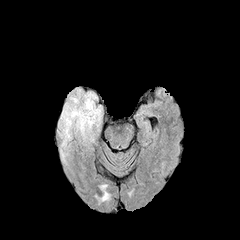
FLAIR MR image.
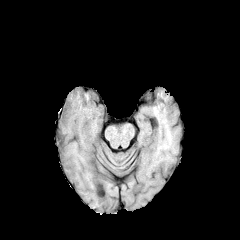
T1-weighted MRI.
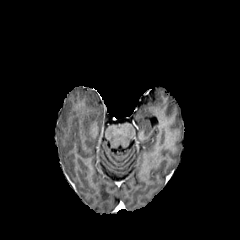
Same slice, post-contrast T1-weighted magnetic resonance.
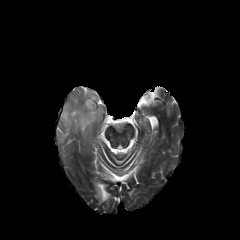
T2-weighted magnetic resonance of the same slice.
240x240
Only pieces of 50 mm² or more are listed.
peritumoral edema: <bbox>57, 87, 106, 148</bbox>